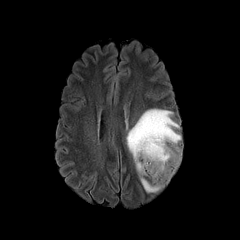
FLAIR MR.
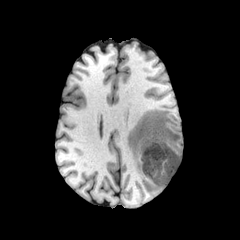
T1-weighted MR image of the same slice.
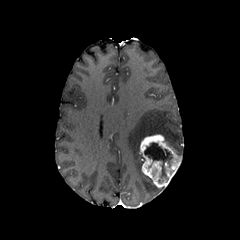
Post-contrast T1-weighted MRI.
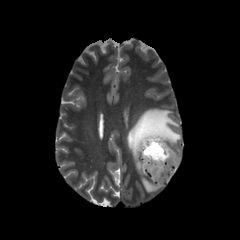
T2-weighted MR image of the same slice.
Brain, Axial view
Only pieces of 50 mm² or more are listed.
necrotic tumor core = box(144, 143, 172, 176)
enhancing tumor = box(139, 134, 181, 188)
peritumoral edema = box(126, 108, 181, 192)